Brain, Slice index 83
FLAIR MR.
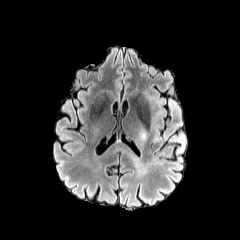
T1-weighted MR.
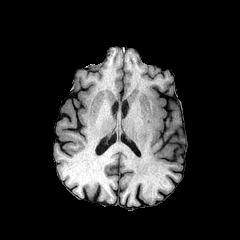
Post-contrast T1-weighted MRI.
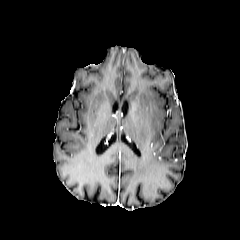
T2-weighted MR.
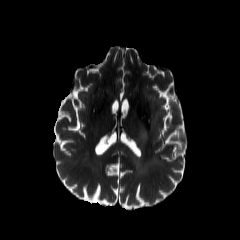
peritumoral edema — x1=140 y1=92 x2=187 y2=161